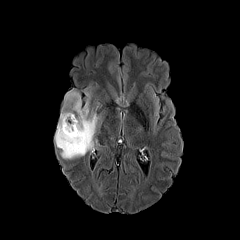
FLAIR magnetic resonance.
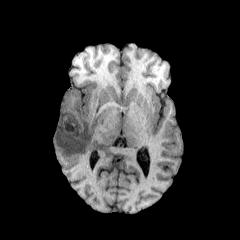
Same slice, T1-weighted magnetic resonance.
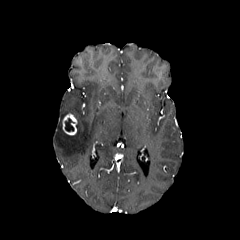
Post-contrast T1-weighted MRI of the same slice.
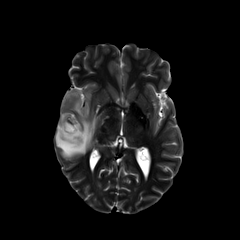
T2-weighted magnetic resonance.
240x240 px, Axial view
necrotic tumor core at bbox(65, 118, 74, 131)
peritumoral edema at bbox(54, 90, 101, 159)
enhancing tumor at bbox(62, 113, 77, 135)